Axial plane | Brain
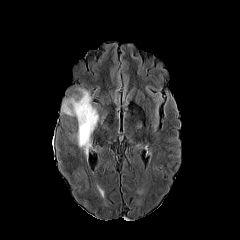
FLAIR magnetic resonance.
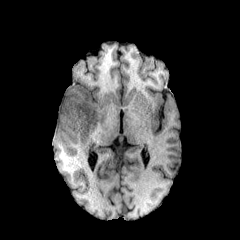
T1-weighted MRI.
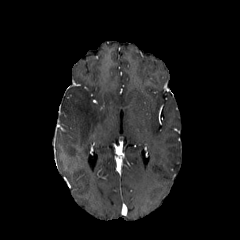
Post-contrast T1-weighted magnetic resonance of the same slice.
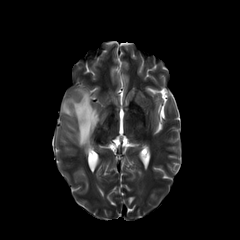
Same slice, T2-weighted MRI.
The peritumoral edema lies within [x1=61, y1=88, x2=99, y2=154].